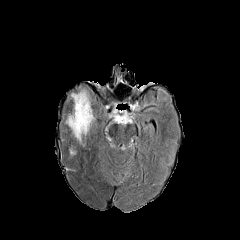
FLAIR MR.
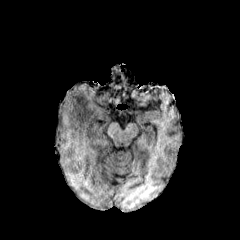
T1-weighted MR image of the same slice.
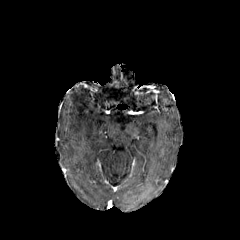
Same slice, post-contrast T1-weighted MR image.
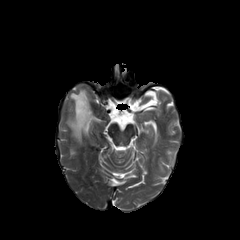
T2-weighted MRI of the same slice.
Axial view; Brain; Image size 240x240
Findings:
• peritumoral edema: 68, 90, 94, 140